FLAIR MR.
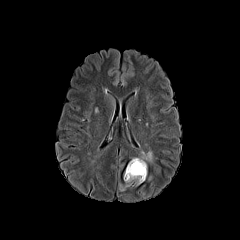
T1-weighted magnetic resonance.
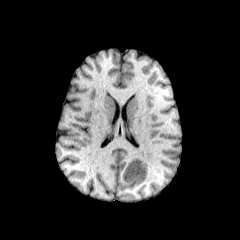
Post-contrast T1-weighted MR.
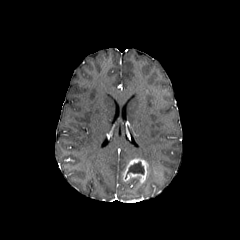
T2-weighted MR.
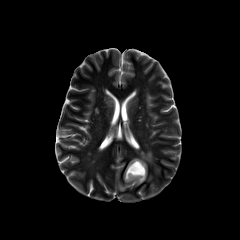
Brain.
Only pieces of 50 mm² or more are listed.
The 2 largest peritumoral edema regions are bounded by rect(119, 179, 140, 190); rect(135, 151, 153, 162). The largest necrotic tumor core region is at rect(127, 162, 144, 174). The enhancing tumor is located at rect(123, 158, 148, 183).